FLAIR MRI.
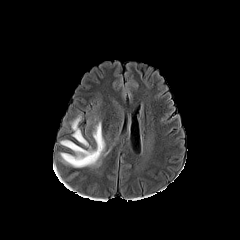
T1-weighted MR image.
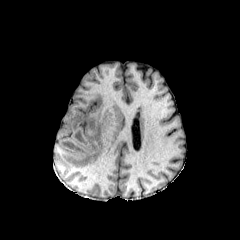
Post-contrast T1-weighted magnetic resonance.
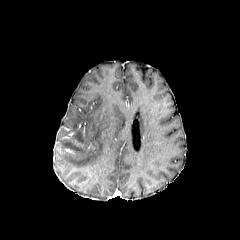
T2-weighted MR image.
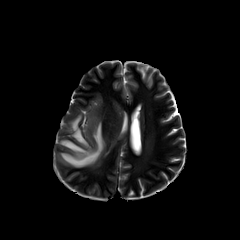
Head; Axial slice
peritumoral edema: (60, 115, 105, 167)